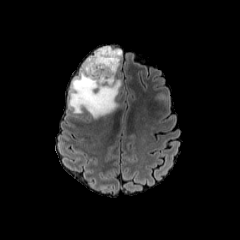
FLAIR MRI.
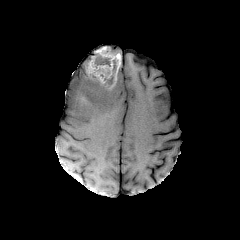
T1-weighted MR image of the same slice.
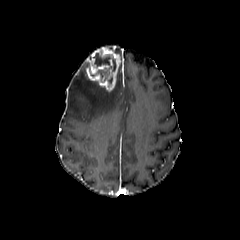
Post-contrast T1-weighted magnetic resonance.
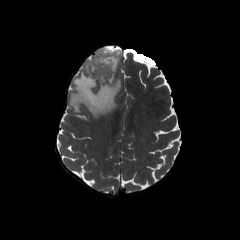
T2-weighted MR.
240x240, Axial slice
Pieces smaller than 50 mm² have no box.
peritumoral edema — bbox=[69, 62, 121, 118]
enhancing tumor — bbox=[85, 46, 120, 91]
necrotic tumor core — bbox=[93, 53, 110, 65]